Image width 240 mm, 1.00 mm slice spacing, Brain
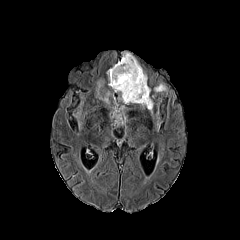
FLAIR MR image.
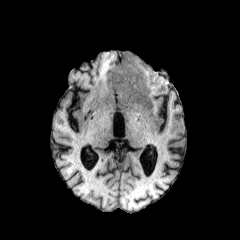
T1-weighted magnetic resonance.
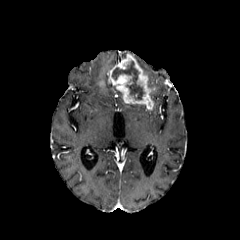
Post-contrast T1-weighted MR image.
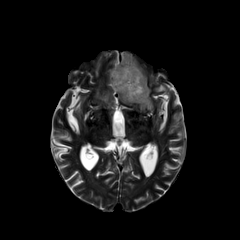
T2-weighted magnetic resonance of the same slice.
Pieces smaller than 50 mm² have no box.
necrotic tumor core at 112:61:144:99
peritumoral edema at 100:91:110:103, 155:84:166:91
enhancing tumor at 108:53:153:110